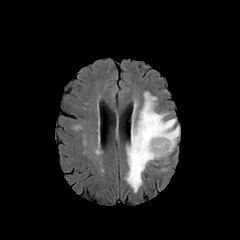
FLAIR MRI.
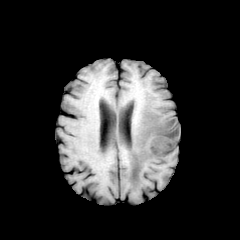
Same slice, T1-weighted magnetic resonance.
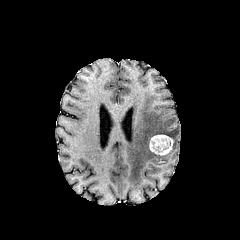
Post-contrast T1-weighted MR of the same slice.
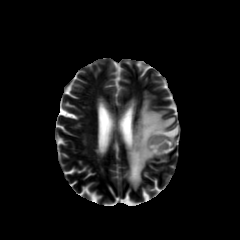
T2-weighted magnetic resonance of the same slice.
240x240, Axial plane
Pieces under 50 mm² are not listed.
peritumoral edema: bounding box (125,92,179,192)
enhancing tumor: bounding box (149,134,173,155)